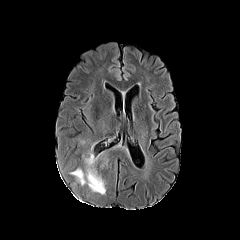
FLAIR MRI.
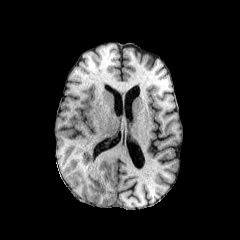
T1-weighted magnetic resonance of the same slice.
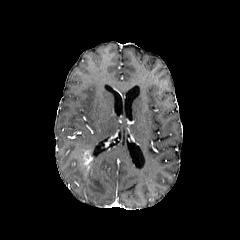
Post-contrast T1-weighted magnetic resonance.
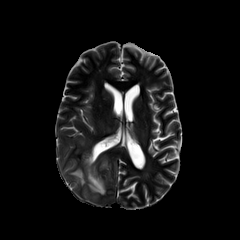
T2-weighted MR image.
Axial slice, 240x240, Head
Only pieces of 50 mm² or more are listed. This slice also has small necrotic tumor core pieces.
enhancing tumor — {"x1": 84, "y1": 150, "x2": 93, "y2": 171}
peritumoral edema — {"x1": 71, "y1": 154, "x2": 105, "y2": 194}